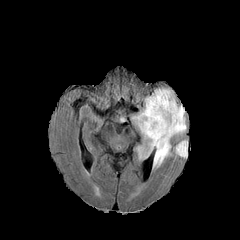
FLAIR MR.
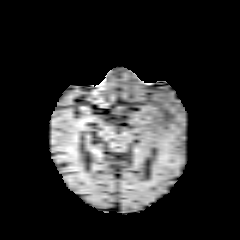
Same slice, T1-weighted MRI.
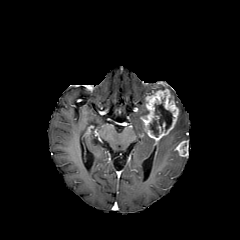
Post-contrast T1-weighted MR image.
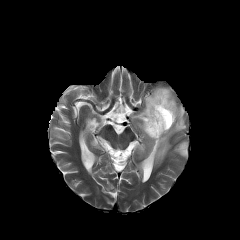
Same slice, T2-weighted MR image.
Head
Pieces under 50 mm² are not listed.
• enhancing tumor: [140,88,179,144], [175,141,188,157]
• peritumoral edema: [132,102,186,167]
• necrotic tumor core: [149,103,171,137]